FLAIR MR image.
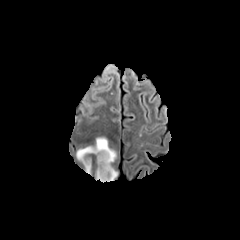
T1-weighted MRI.
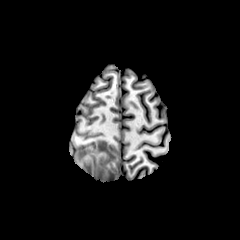
Post-contrast T1-weighted MR.
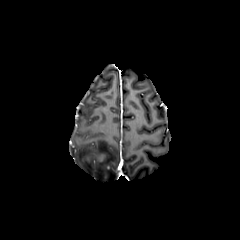
T2-weighted MR.
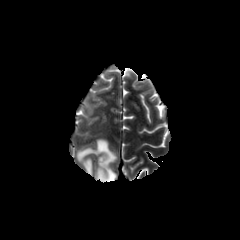
Brain, Image size 240x240
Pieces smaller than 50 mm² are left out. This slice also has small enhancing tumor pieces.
The peritumoral edema is at 76,138,117,181.